240x240 px; Axial slice; Slice 51 of 155; Head
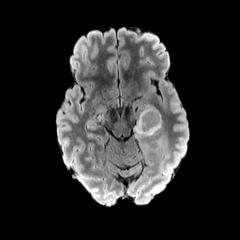
FLAIR MRI.
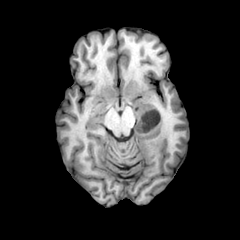
T1-weighted MR.
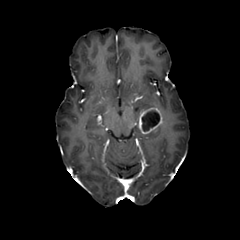
Same slice, post-contrast T1-weighted MRI.
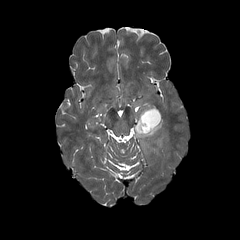
T2-weighted MRI.
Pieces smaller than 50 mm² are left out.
The enhancing tumor is at [138,107,162,134]. The largest peritumoral edema region lies within [134,104,162,140]. The necrotic tumor core lies within [142,111,159,131].